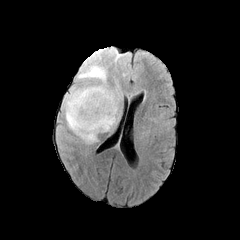
FLAIR MR.
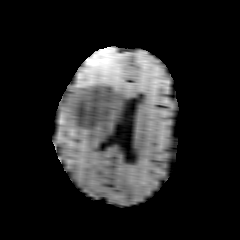
T1-weighted MRI.
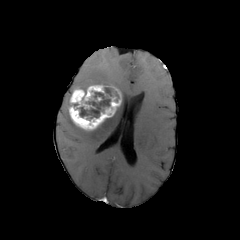
Post-contrast T1-weighted MR.
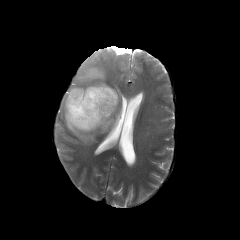
T2-weighted MR image of the same slice.
Brain. Image size 240x240.
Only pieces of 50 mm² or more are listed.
necrotic_tumor_core:
  - [80,107,88,116]
  - [88,92,110,116]
enhancing_tumor:
  - [68,82,122,131]
peritumoral_edema:
  - [69,63,106,94]
  - [62,94,122,143]